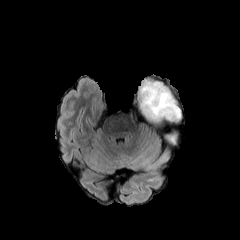
FLAIR magnetic resonance.
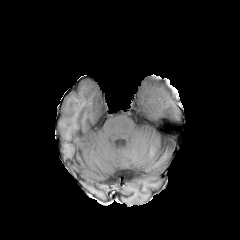
T1-weighted MR of the same slice.
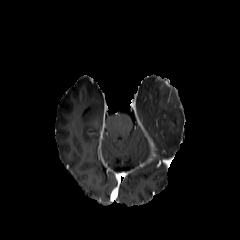
Same slice, post-contrast T1-weighted MRI.
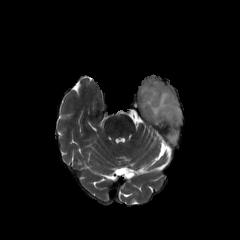
T2-weighted magnetic resonance.
Head. 240x240.
enhancing tumor = (170,112,178,127)
peritumoral edema = (139,81,181,144)